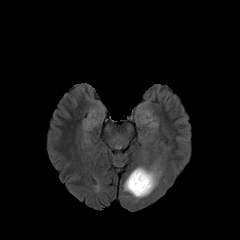
FLAIR MRI.
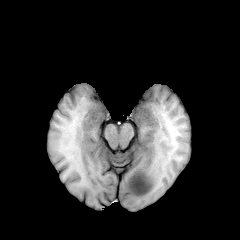
T1-weighted MR.
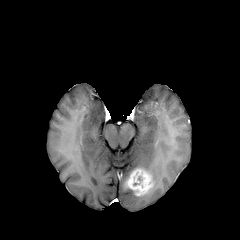
Post-contrast T1-weighted MR image.
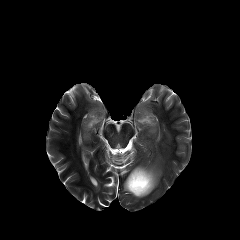
Same slice, T2-weighted magnetic resonance.
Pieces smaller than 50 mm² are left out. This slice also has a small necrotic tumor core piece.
peritumoral edema: [123, 164, 161, 198] | enhancing tumor: [125, 168, 153, 196]